Brain. Axial view. Slice 114/155.
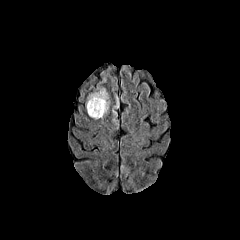
FLAIR MR image.
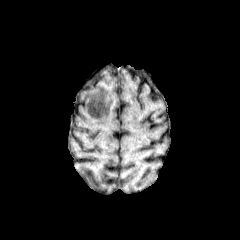
T1-weighted magnetic resonance.
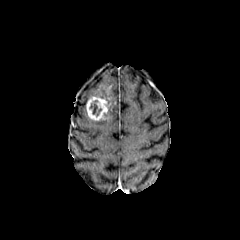
Same slice, post-contrast T1-weighted MR image.
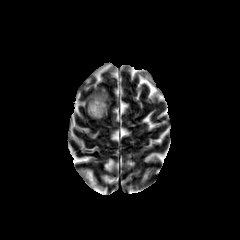
Same slice, T2-weighted MR.
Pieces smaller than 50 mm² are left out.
enhancing tumor — bbox=[86, 91, 110, 120]
necrotic tumor core — bbox=[90, 103, 97, 114]
peritumoral edema — bbox=[111, 93, 118, 125]